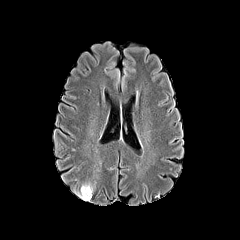
FLAIR MR image.
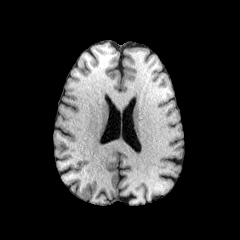
Same slice, T1-weighted MRI.
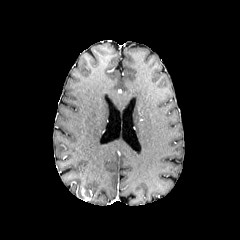
Post-contrast T1-weighted magnetic resonance of the same slice.
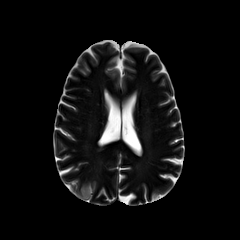
T2-weighted MR of the same slice.
Brain; 240x240
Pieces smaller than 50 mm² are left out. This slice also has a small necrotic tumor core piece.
Segmented structures:
• enhancing tumor: left=81, top=188, right=90, bottom=200
• peritumoral edema: left=78, top=183, right=94, bottom=199